Brain, 240x240 px
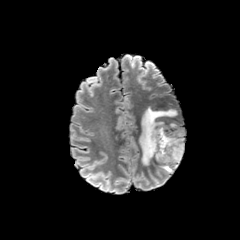
FLAIR MR.
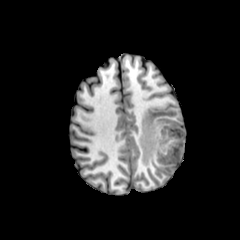
Same slice, T1-weighted MRI.
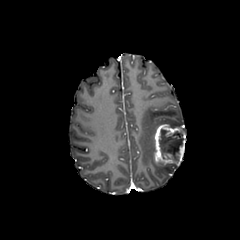
Post-contrast T1-weighted magnetic resonance.
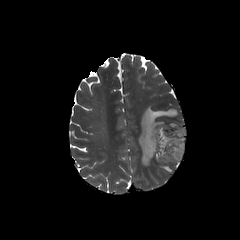
Same slice, T2-weighted magnetic resonance.
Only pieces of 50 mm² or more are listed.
enhancing tumor: box=[154, 124, 185, 165] | peritumoral edema: box=[159, 163, 177, 172]; box=[169, 122, 182, 126]; box=[139, 107, 178, 165] | necrotic tumor core: box=[159, 128, 183, 160]